FLAIR MR image.
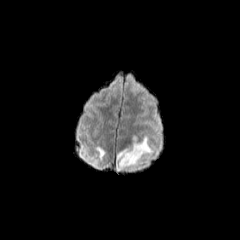
T1-weighted MRI.
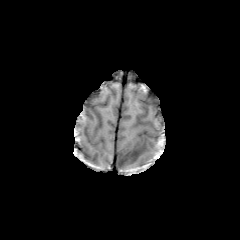
Post-contrast T1-weighted MR image.
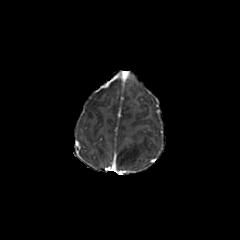
T2-weighted MRI.
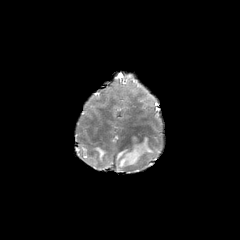
Axial plane, 240x240 px
peritumoral edema: bounding box box(94, 146, 105, 160); box(86, 156, 97, 165); box(116, 136, 152, 173)